FLAIR MR image.
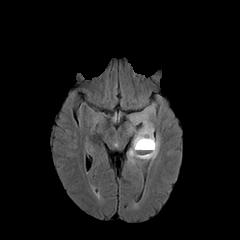
T1-weighted MRI.
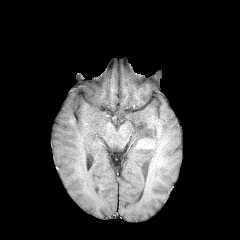
Post-contrast T1-weighted magnetic resonance.
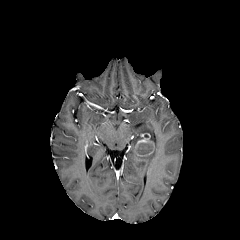
T2-weighted MRI.
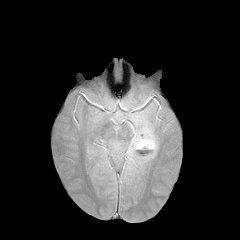
Brain
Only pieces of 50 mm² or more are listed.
peritumoral edema: 128:104:159:163
enhancing tumor: 135:151:153:156, 134:133:154:149
necrotic tumor core: 135:143:153:153